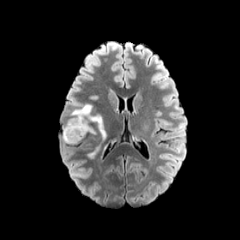
FLAIR MRI.
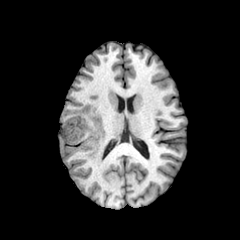
T1-weighted magnetic resonance.
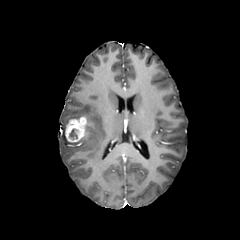
Same slice, post-contrast T1-weighted magnetic resonance.
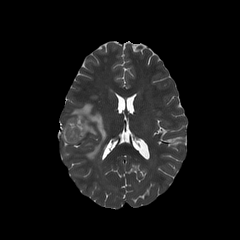
T2-weighted magnetic resonance of the same slice.
Axial view, Head
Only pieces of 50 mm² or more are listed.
The largest peritumoral edema region is bounded by 62,104,108,158. The necrotic tumor core lies within 69,129,77,138. The enhancing tumor is at 65,116,87,142.